Slice 83/155. Brain. Axial view.
FLAIR MR.
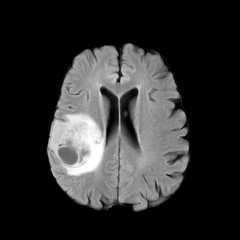
T1-weighted MRI.
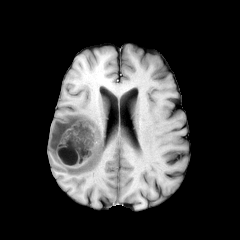
Post-contrast T1-weighted MR.
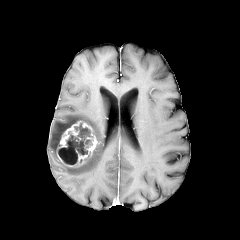
T2-weighted MR.
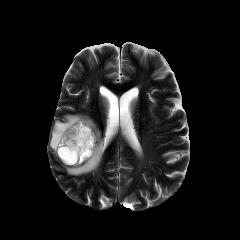
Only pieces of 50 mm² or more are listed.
• necrotic tumor core: x1=58 y1=123 x2=92 y2=164
• enhancing tumor: x1=56 y1=120 x2=97 y2=166
• peritumoral edema: x1=49 y1=113 x2=104 y2=176